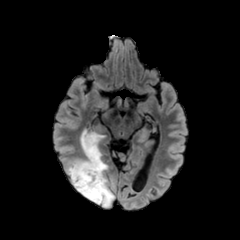
FLAIR MR image.
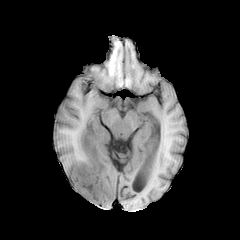
T1-weighted magnetic resonance.
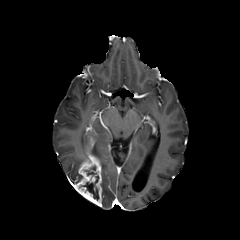
Same slice, post-contrast T1-weighted MRI.
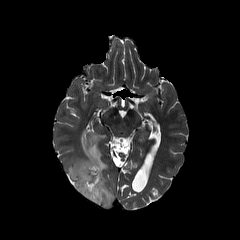
Same slice, T2-weighted magnetic resonance.
240x240 | Axial view
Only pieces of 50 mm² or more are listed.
The largest necrotic tumor core region is located at (81, 175, 98, 200). The enhancing tumor is bounded by (72, 154, 102, 205). The peritumoral edema is bounded by (66, 129, 114, 207).